FLAIR MR image.
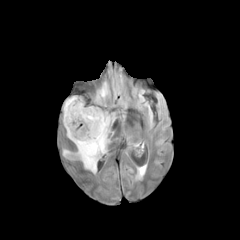
T1-weighted MR.
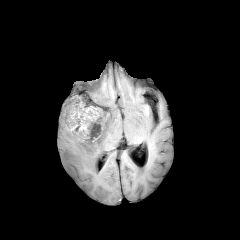
Post-contrast T1-weighted MR image.
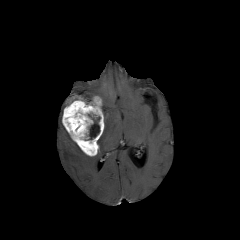
T2-weighted magnetic resonance.
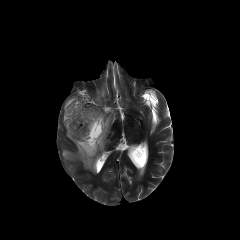
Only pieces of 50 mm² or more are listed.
The largest necrotic tumor core region is at box(89, 117, 100, 139). The 2 largest peritumoral edema regions are bounded by box(63, 112, 115, 173); box(96, 82, 108, 104). The enhancing tumor lies within box(62, 96, 104, 156).